Head; Slice index 86
FLAIR magnetic resonance.
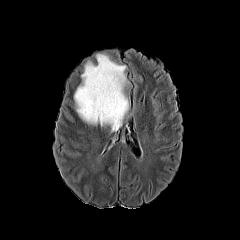
T1-weighted MR.
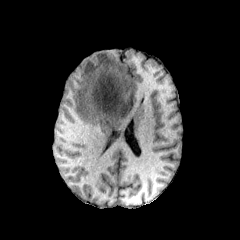
Post-contrast T1-weighted magnetic resonance.
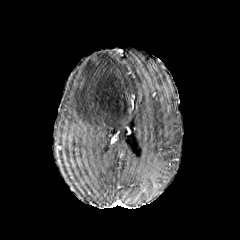
T2-weighted MR image.
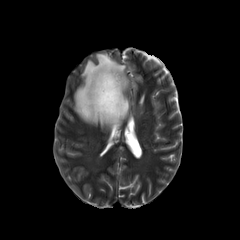
The peritumoral edema lies within 74 53 128 130.